Image width 240 mm, Brain, Slice 66/155
FLAIR MR image.
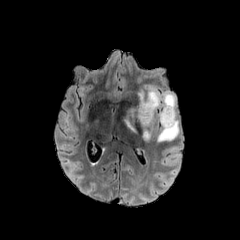
T1-weighted MR.
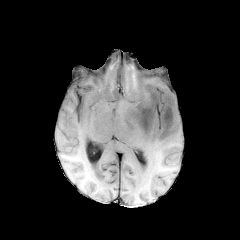
Post-contrast T1-weighted MRI.
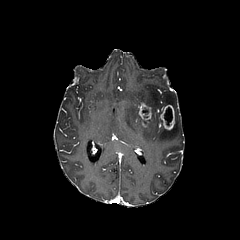
T2-weighted MR.
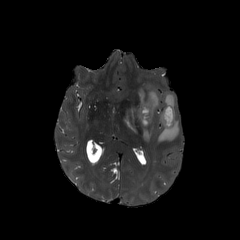
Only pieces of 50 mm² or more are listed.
<segmentation>
  <peritumoral_edema><bbox>143, 128, 150, 140</bbox>, <bbox>124, 86, 180, 141</bbox></peritumoral_edema>
  <necrotic_tumor_core><bbox>164, 107, 172, 125</bbox></necrotic_tumor_core>
  <enhancing_tumor><bbox>159, 105, 174, 130</bbox>, <bbox>138, 102, 151, 127</bbox></enhancing_tumor>
</segmentation>